Slice index 110. Image width 240 mm, 1.00 mm slice spacing. Axial slice.
FLAIR MRI.
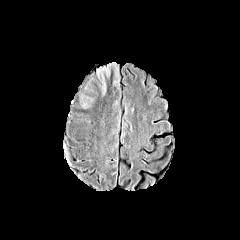
T1-weighted MR.
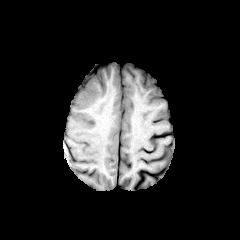
Post-contrast T1-weighted magnetic resonance.
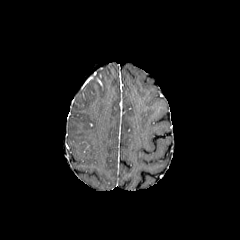
T2-weighted MRI.
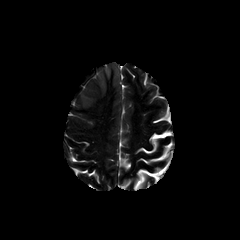
peritumoral edema at 79,62,119,108